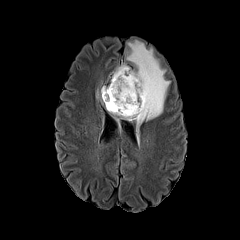
FLAIR MR.
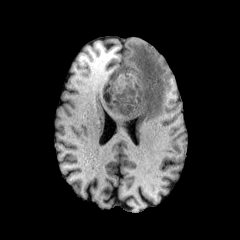
T1-weighted MR of the same slice.
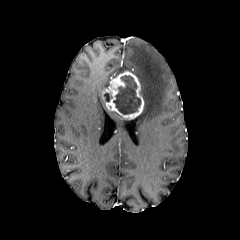
Same slice, post-contrast T1-weighted MR image.
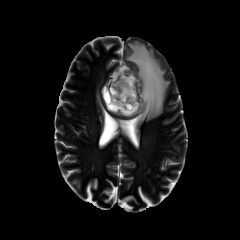
Same slice, T2-weighted magnetic resonance.
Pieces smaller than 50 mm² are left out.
peritumoral edema — 112:40:169:126
enhancing tumor — 102:70:144:119
necrotic tumor core — 113:75:140:114